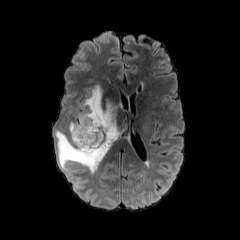
FLAIR magnetic resonance.
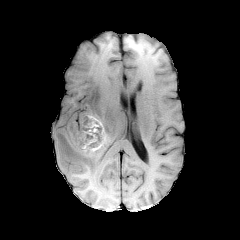
Same slice, T1-weighted magnetic resonance.
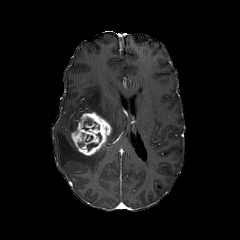
Post-contrast T1-weighted MRI.
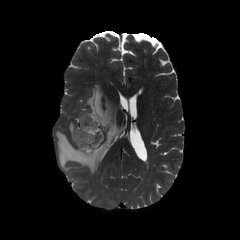
T2-weighted MRI.
Brain
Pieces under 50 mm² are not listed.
enhancing tumor — l=71, t=112, r=112, b=155
necrotic tumor core — l=84, t=116, r=99, b=129; l=82, t=127, r=101, b=141
peritumoral edema — l=55, t=84, r=120, b=173; l=69, t=122, r=77, b=135